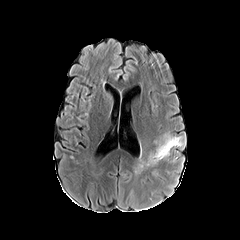
FLAIR magnetic resonance.
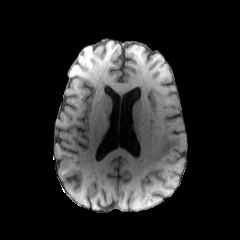
T1-weighted magnetic resonance.
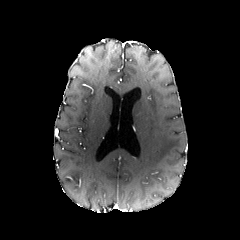
Post-contrast T1-weighted MR.
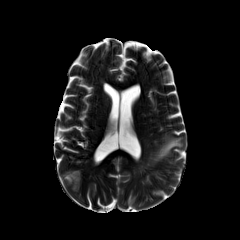
T2-weighted MR.
Brain; 240x240 px; Axial slice
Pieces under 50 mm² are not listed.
- peritumoral edema: {"x1": 146, "y1": 134, "x2": 183, "y2": 165}